FLAIR MRI.
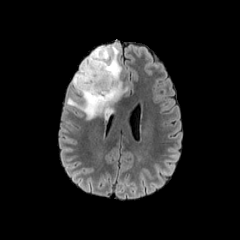
T1-weighted MR.
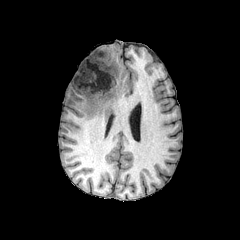
Post-contrast T1-weighted magnetic resonance.
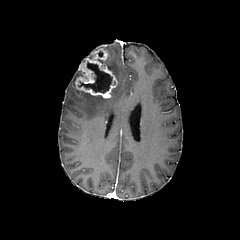
T2-weighted MR image.
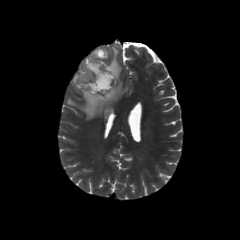
Brain. Image size 240x240.
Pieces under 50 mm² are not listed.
2 peritumoral edema regions are located at 67 45 127 119, 72 71 82 88. The enhancing tumor is at 74 48 117 98. The largest necrotic tumor core region lies within 78 62 112 93.